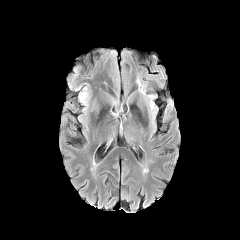
FLAIR MRI.
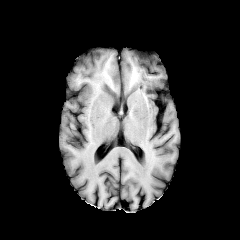
T1-weighted MRI.
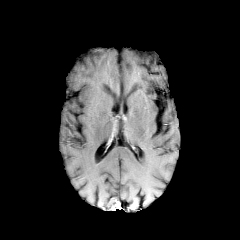
Post-contrast T1-weighted MR image of the same slice.
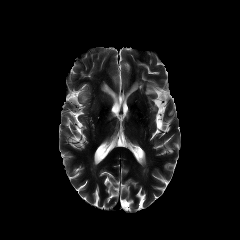
T2-weighted MR image.
Axial view. 240x240 px.
The peritumoral edema is located at {"x1": 80, "y1": 91, "x2": 87, "y2": 102}.